FLAIR MR image.
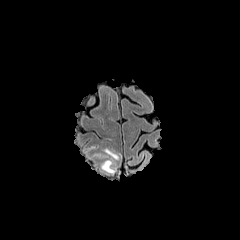
T1-weighted magnetic resonance.
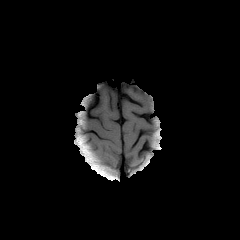
Post-contrast T1-weighted MR.
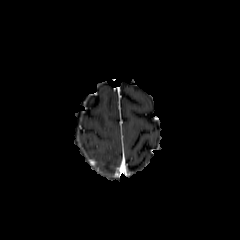
T2-weighted magnetic resonance.
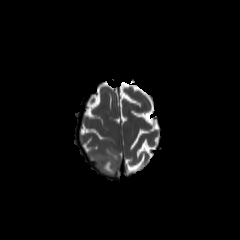
Axial view | Head
peritumoral edema: (left=103, top=148, right=118, bottom=159), (left=101, top=159, right=115, bottom=173)